Axial plane; Head; Slice 53 of 155
FLAIR MR image.
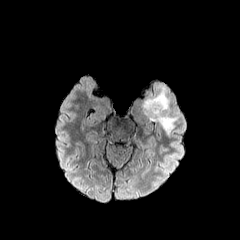
T1-weighted MR.
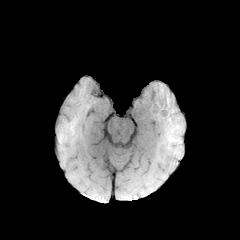
Post-contrast T1-weighted MR image.
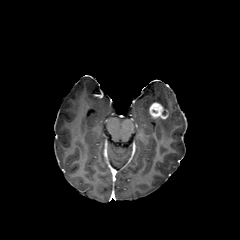
T2-weighted MR.
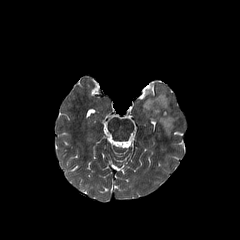
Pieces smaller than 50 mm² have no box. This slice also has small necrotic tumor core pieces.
The enhancing tumor is at left=149, top=102, right=168, bottom=118. The peritumoral edema is located at left=142, top=87, right=176, bottom=135.